Axial slice. Image size 240x240. Brain.
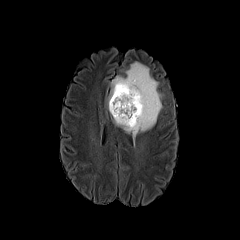
FLAIR magnetic resonance.
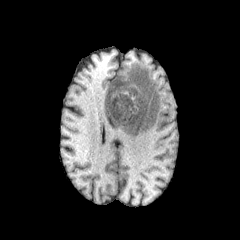
T1-weighted MR image.
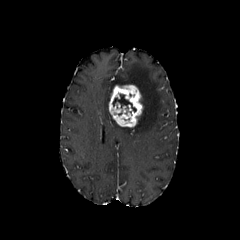
Same slice, post-contrast T1-weighted MR.
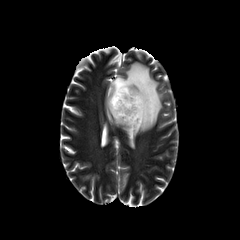
T2-weighted MR image of the same slice.
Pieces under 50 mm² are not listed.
The enhancing tumor appears at <bbox>109, 85, 143, 127</bbox>. The largest necrotic tumor core region is bounded by <bbox>112, 93, 136, 112</bbox>. The largest peritumoral edema region lies within <bbox>110, 62, 163, 139</bbox>.